FLAIR MRI.
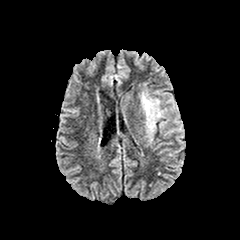
T1-weighted MR image.
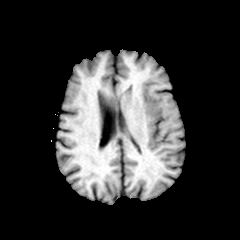
Post-contrast T1-weighted MRI.
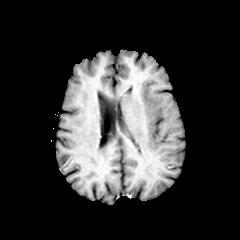
T2-weighted magnetic resonance.
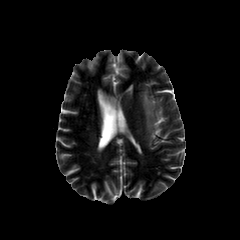
Axial slice
Segmented structures:
* peritumoral edema: <box>141,92,162,134</box>